Brain. 240x240 px. Slice 84 of 155. Image width 240 mm.
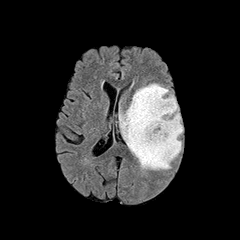
FLAIR MRI.
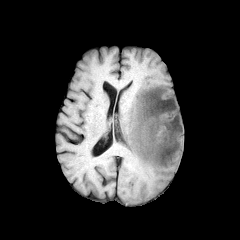
Same slice, T1-weighted MR image.
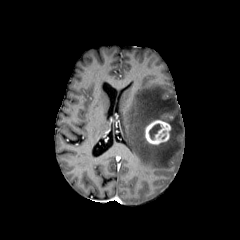
Post-contrast T1-weighted MRI of the same slice.
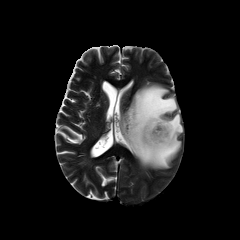
T2-weighted magnetic resonance.
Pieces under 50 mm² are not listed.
{
  "peritumoral_edema": [
    "119, 83, 183, 169"
  ],
  "enhancing_tumor": [
    "145, 120, 170, 144"
  ],
  "necrotic_tumor_core": [
    "149, 124, 161, 139"
  ]
}